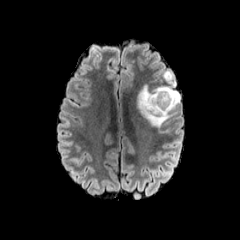
FLAIR MR image.
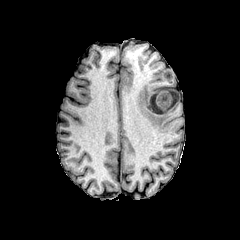
T1-weighted MR of the same slice.
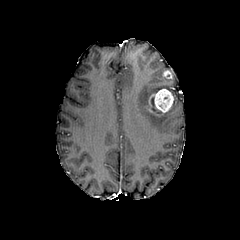
Same slice, post-contrast T1-weighted MR image.
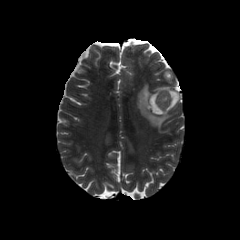
T2-weighted MR image of the same slice.
Brain. Image size 240x240. Axial view.
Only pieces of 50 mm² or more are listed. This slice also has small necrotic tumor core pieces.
* enhancing tumor: (145, 88, 177, 116), (163, 70, 172, 78)
* peritumoral edema: (135, 68, 180, 133)